Axial view. Head.
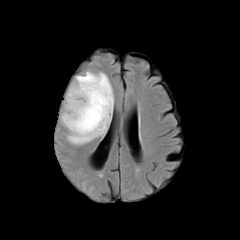
FLAIR MRI.
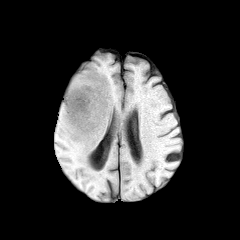
T1-weighted MR.
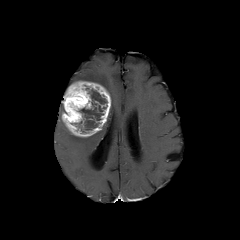
Post-contrast T1-weighted MR of the same slice.
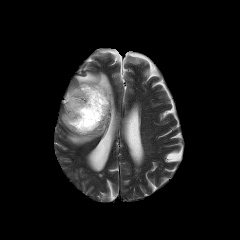
T2-weighted MR.
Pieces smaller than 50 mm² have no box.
necrotic_tumor_core:
  - <bbox>80, 89, 106, 130</bbox>
peritumoral_edema:
  - <bbox>67, 71, 114, 145</bbox>
enhancing_tumor:
  - <bbox>62, 81, 111, 136</bbox>